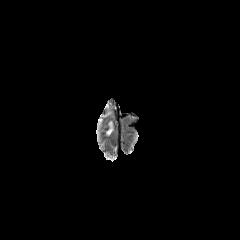
FLAIR MRI.
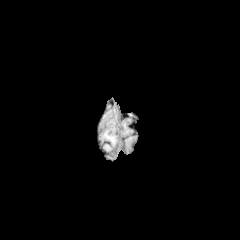
T1-weighted MRI.
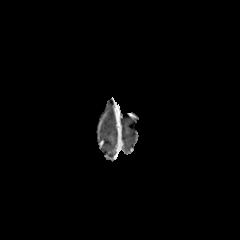
Same slice, post-contrast T1-weighted magnetic resonance.
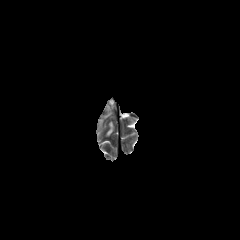
T2-weighted MRI of the same slice.
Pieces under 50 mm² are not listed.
peritumoral edema: x1=106, y1=122, x2=113, y2=135